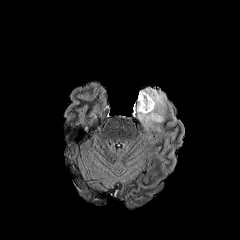
FLAIR MR image.
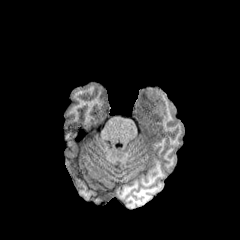
Same slice, T1-weighted magnetic resonance.
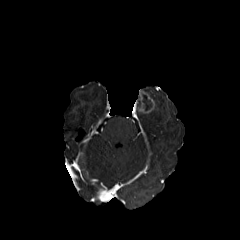
Post-contrast T1-weighted magnetic resonance.
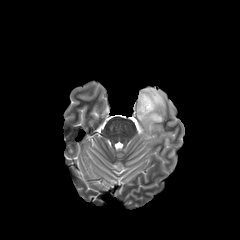
Same slice, T2-weighted magnetic resonance.
240x240 px; Axial plane; Head
peritumoral edema — [136, 88, 166, 130]
necrotic tumor core — [142, 94, 152, 110]
enhancing tumor — [137, 90, 155, 113]